FLAIR magnetic resonance.
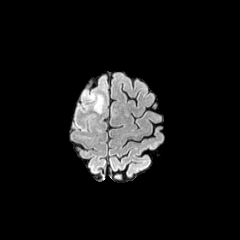
T1-weighted MR image.
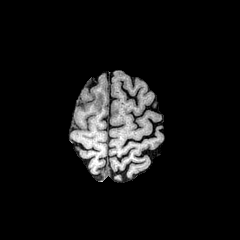
Post-contrast T1-weighted MRI.
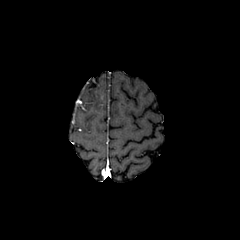
T2-weighted MR image.
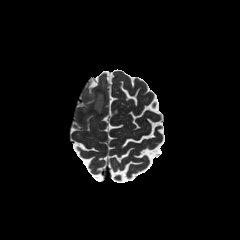
Axial view
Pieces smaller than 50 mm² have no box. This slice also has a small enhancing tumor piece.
The largest peritumoral edema region is located at [94, 92, 103, 112].